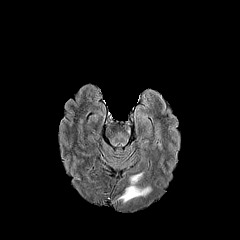
FLAIR MR image.
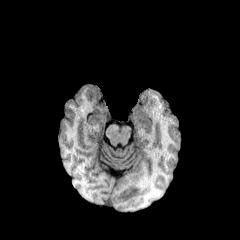
T1-weighted MRI.
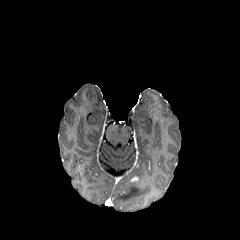
Post-contrast T1-weighted magnetic resonance.
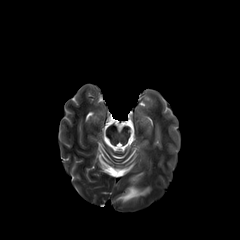
T2-weighted MR image.
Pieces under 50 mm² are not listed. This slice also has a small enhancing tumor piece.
Annotated regions:
• peritumoral edema: 117:172:151:202